240x240. Brain. Axial slice.
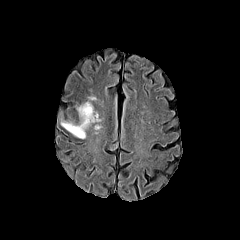
FLAIR MR image.
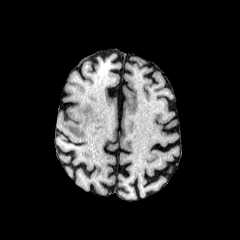
Same slice, T1-weighted magnetic resonance.
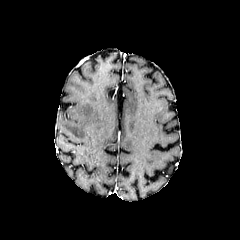
Same slice, post-contrast T1-weighted MRI.
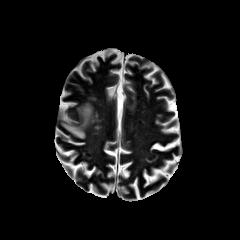
T2-weighted magnetic resonance.
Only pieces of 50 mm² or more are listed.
Findings:
• peritumoral edema: <box>61,102,95,138</box>